Axial view. Image width 240 mm, 1.00 mm slice spacing.
FLAIR magnetic resonance.
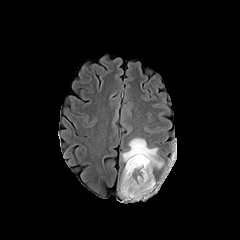
T1-weighted MRI.
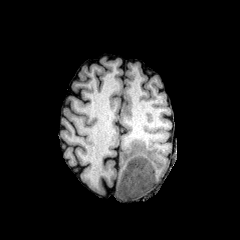
Post-contrast T1-weighted MRI.
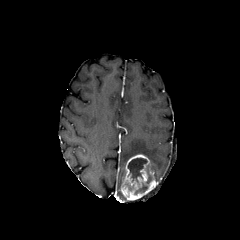
T2-weighted MRI.
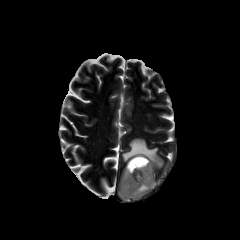
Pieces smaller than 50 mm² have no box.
<segmentation>
  <peritumoral_edema><box>122,138,164,168</box></peritumoral_edema>
  <enhancing_tumor><box>120,154,157,200</box></enhancing_tumor>
  <necrotic_tumor_core><box>128,158,147,181</box></necrotic_tumor_core>
</segmentation>